FLAIR magnetic resonance.
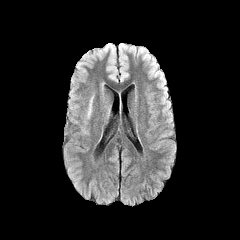
T1-weighted MR.
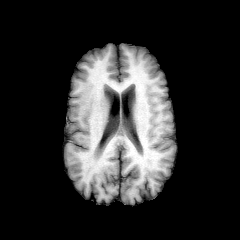
Post-contrast T1-weighted MR.
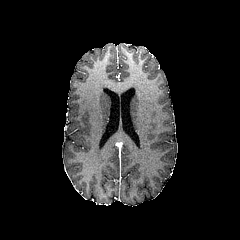
T2-weighted MRI.
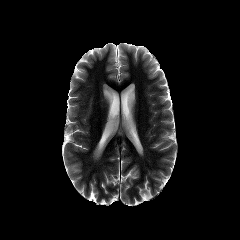
Brain
The peritumoral edema is bounded by rect(87, 96, 93, 118).